FLAIR magnetic resonance.
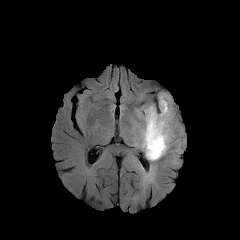
T1-weighted MR.
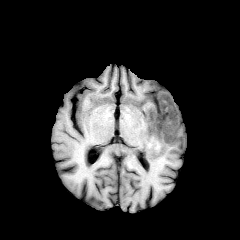
Post-contrast T1-weighted magnetic resonance.
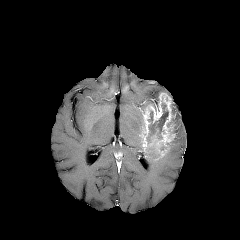
T2-weighted magnetic resonance.
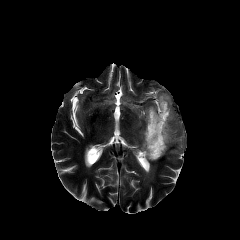
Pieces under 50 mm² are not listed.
<segmentation>
  <necrotic_tumor_core>x1=147 y1=104 x2=168 y2=143, x1=148 y1=144 x2=159 y2=156</necrotic_tumor_core>
  <enhancing_tumor>x1=140 y1=92 x2=175 y2=156</enhancing_tumor>
  <peritumoral_edema>x1=168 y1=104 x2=180 y2=150, x1=134 y1=97 x2=161 y2=178</peritumoral_edema>
</segmentation>